Slice 126 of 155
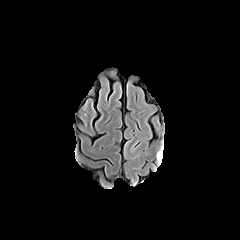
FLAIR magnetic resonance.
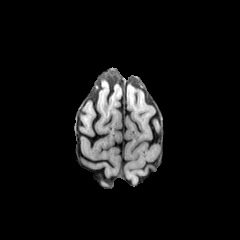
T1-weighted MR image of the same slice.
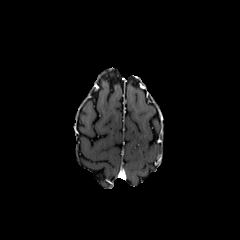
Post-contrast T1-weighted MRI.
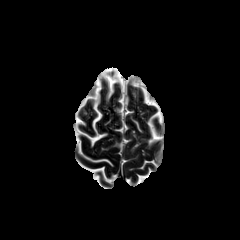
Same slice, T2-weighted magnetic resonance.
peritumoral edema at region(156, 147, 162, 162)